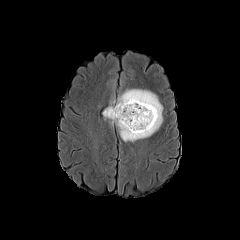
FLAIR magnetic resonance.
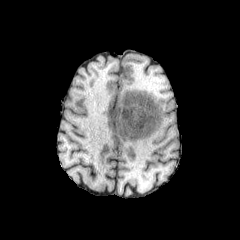
T1-weighted magnetic resonance of the same slice.
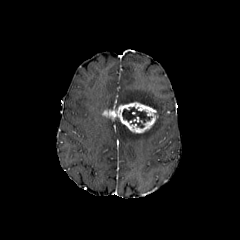
Post-contrast T1-weighted MRI of the same slice.
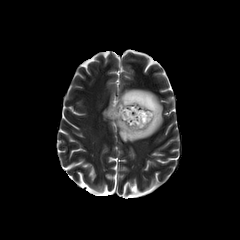
T2-weighted MRI of the same slice.
Axial plane. 240x240.
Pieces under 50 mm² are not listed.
necrotic tumor core: {"x1": 122, "y1": 107, "x2": 151, "y2": 122}
enhancing tumor: {"x1": 102, "y1": 102, "x2": 158, "y2": 133}
peritumoral edema: {"x1": 112, "y1": 89, "x2": 162, "y2": 141}